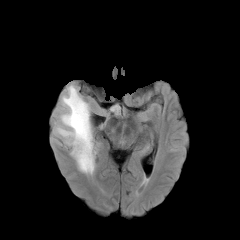
FLAIR magnetic resonance.
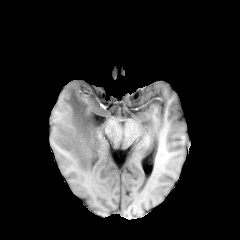
T1-weighted MR image of the same slice.
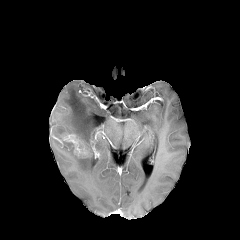
Same slice, post-contrast T1-weighted MR image.
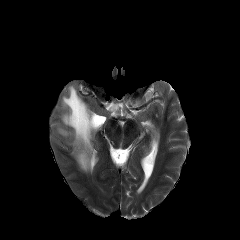
T2-weighted MR image of the same slice.
Axial view
The enhancing tumor lies within 63, 134, 88, 157. The peritumoral edema appears at 55, 84, 94, 174.